FLAIR MRI.
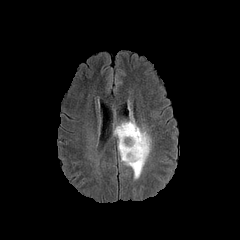
T1-weighted MR.
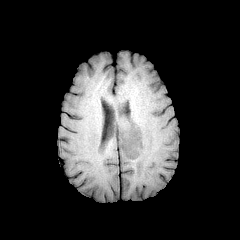
Post-contrast T1-weighted MR.
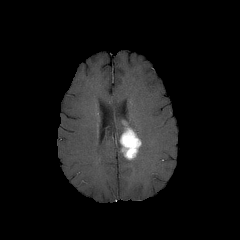
T2-weighted MR.
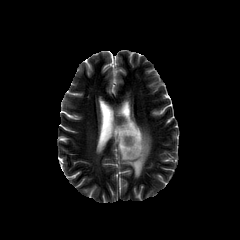
240x240; Axial view
The peritumoral edema lies within region(113, 112, 151, 179). The enhancing tumor is bounded by region(119, 121, 141, 159).